FLAIR MRI.
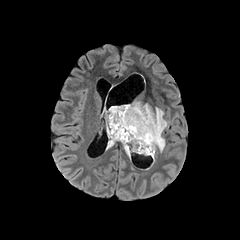
T1-weighted MR.
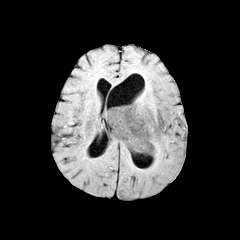
Post-contrast T1-weighted MR.
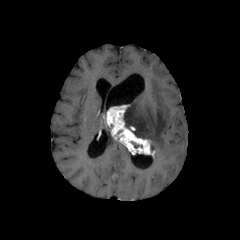
T2-weighted magnetic resonance.
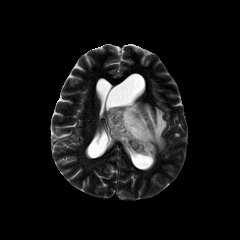
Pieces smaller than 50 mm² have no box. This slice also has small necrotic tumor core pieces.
Segmented structures:
- enhancing tumor: rect(105, 104, 155, 157)
- peritumoral edema: rect(106, 127, 115, 149); rect(124, 101, 167, 151)